240x240, Brain, Axial view
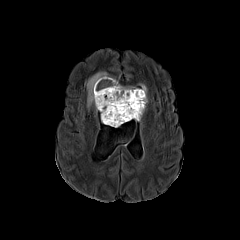
FLAIR MR.
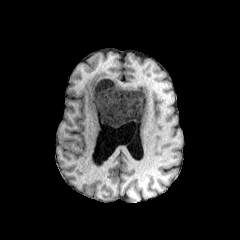
Same slice, T1-weighted MR image.
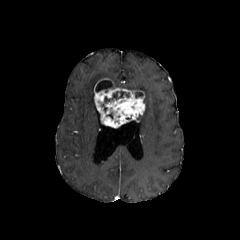
Post-contrast T1-weighted magnetic resonance.
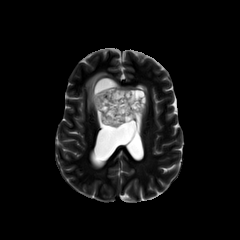
Same slice, T2-weighted MR image.
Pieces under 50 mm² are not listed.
peritumoral edema: (85,72,147,108) | enhancing tumor: (94,78,145,127) | necrotic tumor core: (104,91,125,102), (96,79,113,91)